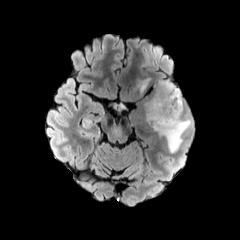
FLAIR MR image.
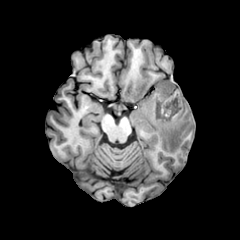
Same slice, T1-weighted MRI.
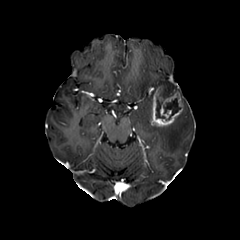
Post-contrast T1-weighted MR image.
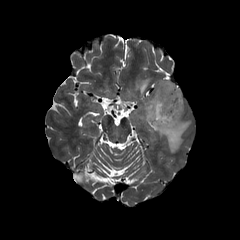
T2-weighted MR image.
Axial plane; Head
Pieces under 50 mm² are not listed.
necrotic tumor core = [163, 98, 180, 120], [156, 97, 165, 118]
enhancing tumor = [151, 86, 183, 126]
peritumoral edema = [136, 78, 150, 93], [159, 81, 180, 96], [146, 100, 151, 122], [153, 113, 192, 152]